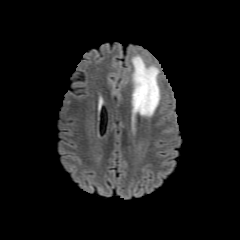
FLAIR MR.
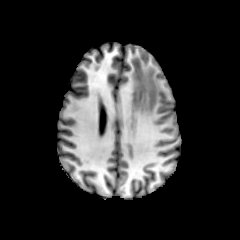
T1-weighted magnetic resonance.
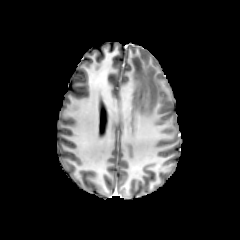
Post-contrast T1-weighted MRI.
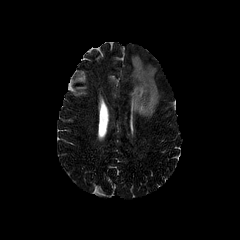
T2-weighted magnetic resonance.
240x240. Head.
The peritumoral edema lies within 132 56 160 116.